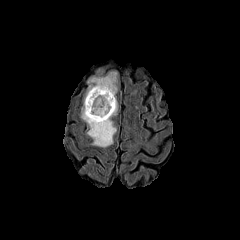
FLAIR MR image.
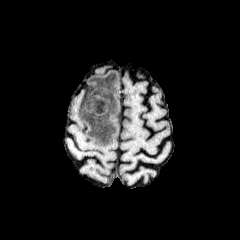
Same slice, T1-weighted MR image.
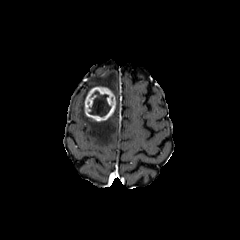
Post-contrast T1-weighted MRI of the same slice.
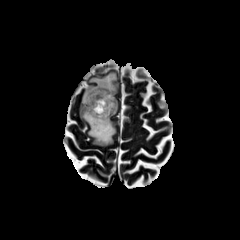
T2-weighted MR image.
Brain, 240x240, Axial plane
• peritumoral edema: bbox=[84, 71, 117, 101]; bbox=[81, 99, 118, 147]
• necrotic tumor core: bbox=[89, 91, 110, 116]
• enhancing tumor: bbox=[84, 86, 115, 121]